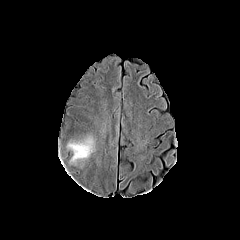
FLAIR MR image.
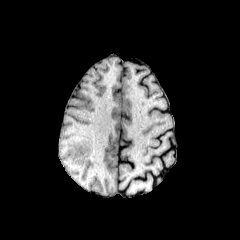
T1-weighted magnetic resonance.
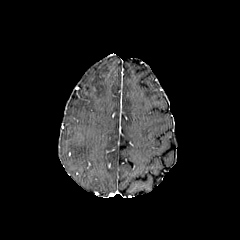
Same slice, post-contrast T1-weighted MRI.
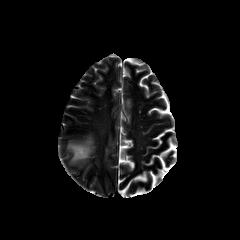
T2-weighted MR image.
Head | Axial plane | Image size 240x240
peritumoral_edema:
  - x1=68, y1=138, x2=92, y2=160